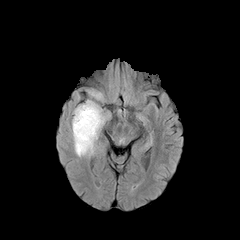
FLAIR MR image.
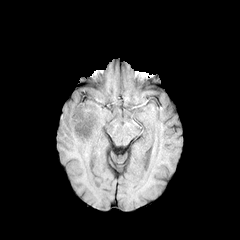
Same slice, T1-weighted MR.
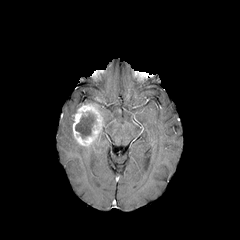
Post-contrast T1-weighted MR of the same slice.
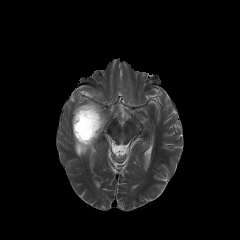
T2-weighted MR image.
Axial slice; Brain; Image size 240x240
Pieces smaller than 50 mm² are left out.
The 3 largest peritumoral edema regions appear at l=89, t=92, r=102, b=99; l=82, t=100, r=106, b=126; l=73, t=133, r=99, b=156. The necrotic tumor core appears at l=75, t=112, r=95, b=138. The enhancing tumor is bounded by l=73, t=104, r=102, b=146.